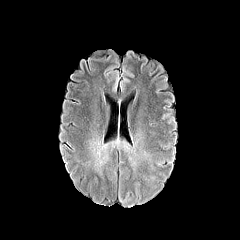
FLAIR MRI.
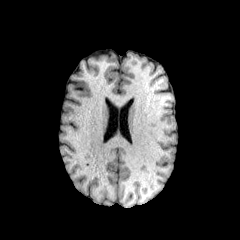
T1-weighted magnetic resonance of the same slice.
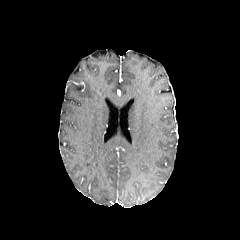
Same slice, post-contrast T1-weighted MR image.
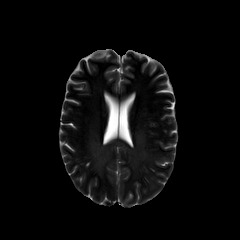
T2-weighted MR.
240x240 px; Head
The peritumoral edema appears at rect(86, 130, 151, 179).